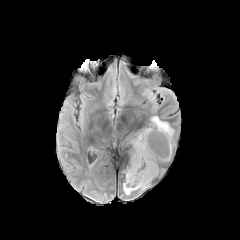
FLAIR MR image.
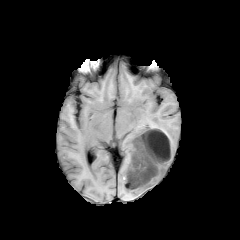
T1-weighted MR image.
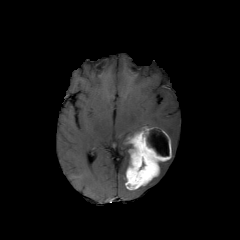
Same slice, post-contrast T1-weighted MR image.
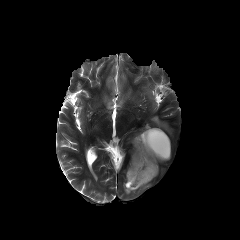
T2-weighted MRI of the same slice.
Brain
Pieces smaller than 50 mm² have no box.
necrotic tumor core: x1=147, y1=128, x2=169, y2=156
peritumoral edema: x1=123, y1=183, x2=134, y2=194; x1=151, y1=116, x2=173, y2=139
enhancing tumor: x1=125, y1=127, x2=171, y2=190